FLAIR MR image.
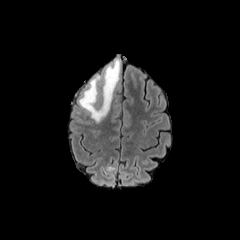
T1-weighted magnetic resonance.
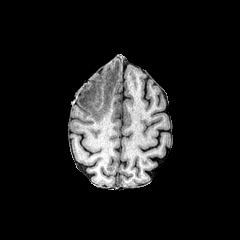
Post-contrast T1-weighted magnetic resonance.
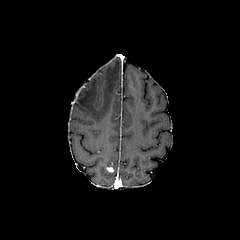
T2-weighted MR image.
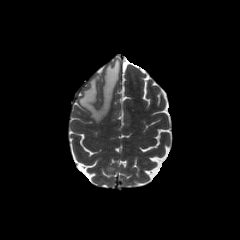
Head.
peritumoral edema: bounding box l=78, t=59, r=120, b=122